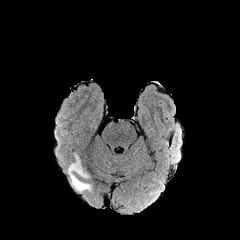
FLAIR MR.
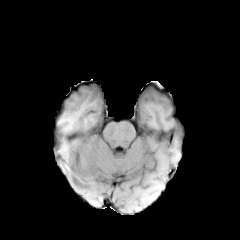
T1-weighted MR.
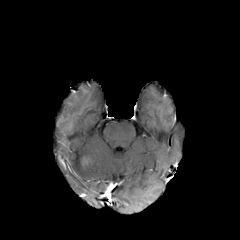
Post-contrast T1-weighted MRI of the same slice.
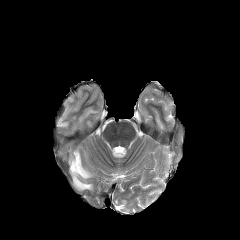
T2-weighted MR image.
Image size 240x240.
{"peritumoral_edema": ["bbox=[68, 153, 91, 191]"]}